FLAIR MR image.
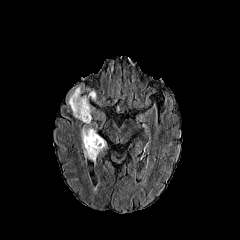
T1-weighted MR image.
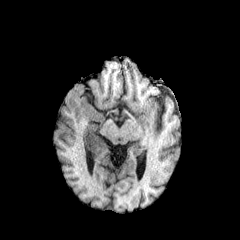
Post-contrast T1-weighted magnetic resonance.
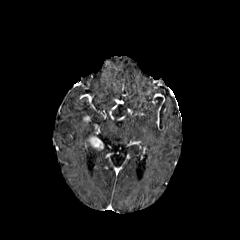
T2-weighted magnetic resonance.
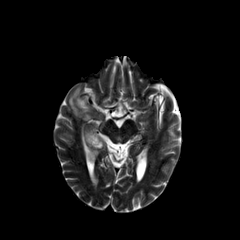
Brain; Axial slice
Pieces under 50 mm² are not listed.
peritumoral edema: [68, 84, 104, 160] | enhancing tumor: [84, 132, 103, 150]